FLAIR MRI.
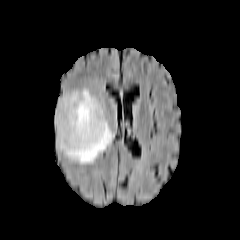
T1-weighted MR image.
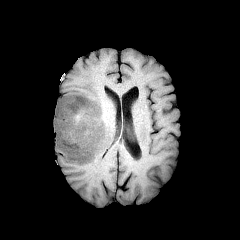
Post-contrast T1-weighted MR.
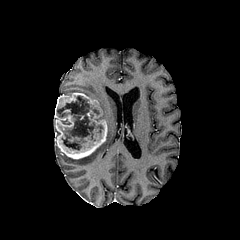
T2-weighted MRI.
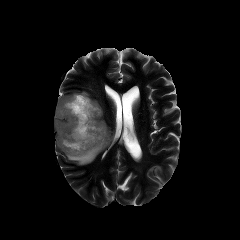
Brain. Axial view.
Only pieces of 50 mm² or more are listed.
• necrotic tumor core: box=[57, 96, 103, 150]
• enhancing tumor: box=[54, 92, 107, 159]
• peritumoral edema: box=[67, 89, 95, 98]; box=[67, 122, 113, 164]